240x240; Brain; Slice 65 of 155
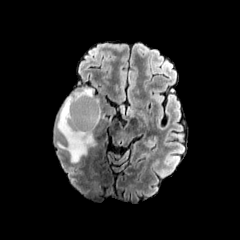
FLAIR magnetic resonance.
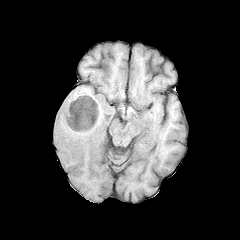
Same slice, T1-weighted MR.
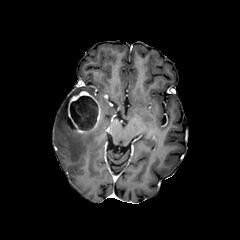
Post-contrast T1-weighted MRI of the same slice.
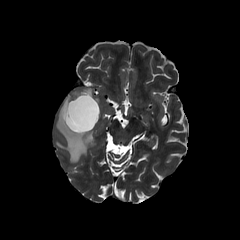
Same slice, T2-weighted MR.
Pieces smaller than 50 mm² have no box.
The largest necrotic tumor core region is bounded by 70, 96, 97, 130. The largest peritumoral edema region is located at 57, 87, 96, 162. The enhancing tumor appears at 66, 91, 101, 133.